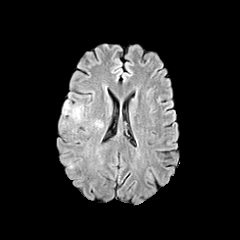
FLAIR MR.
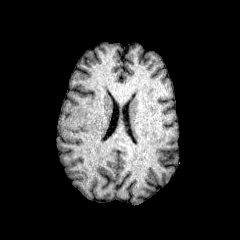
Same slice, T1-weighted magnetic resonance.
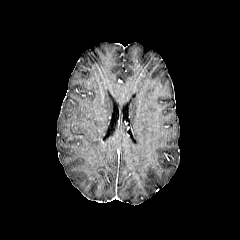
Same slice, post-contrast T1-weighted MRI.
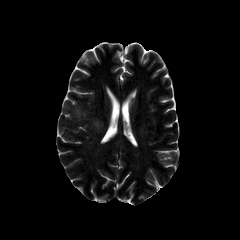
T2-weighted magnetic resonance of the same slice.
Brain.
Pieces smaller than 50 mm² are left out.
peritumoral edema: left=94, top=120, right=102, bottom=127; left=63, top=101, right=83, bottom=122